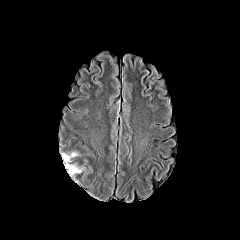
FLAIR magnetic resonance.
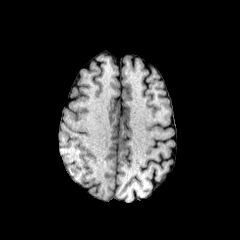
Same slice, T1-weighted magnetic resonance.
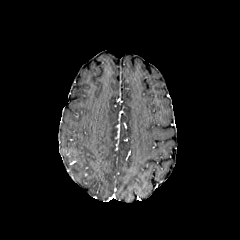
Post-contrast T1-weighted MRI.
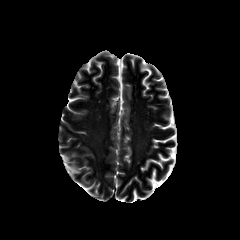
T2-weighted MR image.
Brain
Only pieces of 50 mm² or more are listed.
peritumoral edema: [x1=66, y1=164, x2=80, y2=174]